Slice 91/155 | Brain
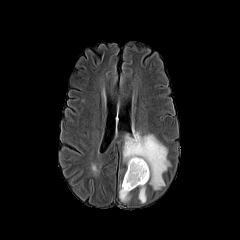
FLAIR MR image.
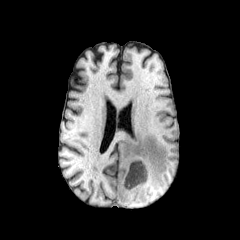
T1-weighted MRI.
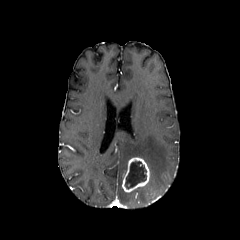
Same slice, post-contrast T1-weighted magnetic resonance.
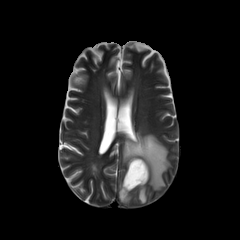
T2-weighted MR.
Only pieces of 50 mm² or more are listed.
peritumoral edema = (138, 186, 146, 203), (123, 129, 170, 189), (119, 183, 130, 202)
necrotic tumor core = (125, 161, 146, 188)
enhancing tumor = (122, 157, 150, 192)